Axial view, Brain
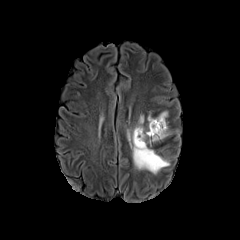
FLAIR MR image.
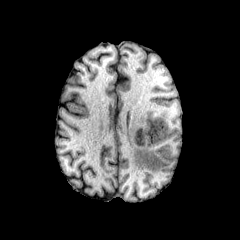
T1-weighted MR.
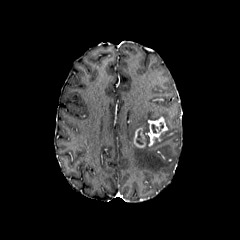
Post-contrast T1-weighted magnetic resonance.
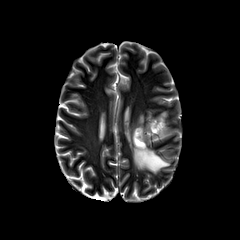
Same slice, T2-weighted magnetic resonance.
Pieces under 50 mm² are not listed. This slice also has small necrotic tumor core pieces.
The 2 largest peritumoral edema regions are located at [x1=149, y1=111, x2=167, y2=120], [x1=127, y1=115, x2=169, y2=173]. 2 enhancing tumor regions are bounded by [x1=133, y1=128, x2=145, y2=148], [x1=145, y1=117, x2=167, y2=139].